Brain. Axial plane.
FLAIR magnetic resonance.
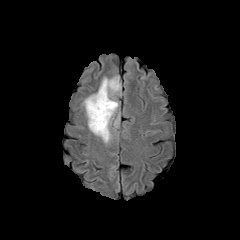
T1-weighted MRI.
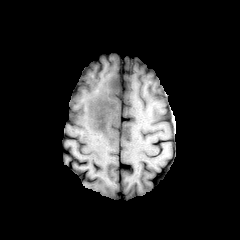
Post-contrast T1-weighted magnetic resonance.
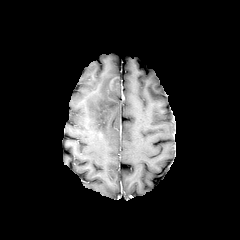
T2-weighted magnetic resonance.
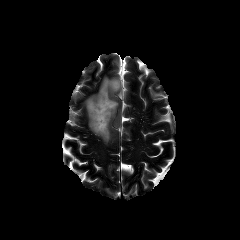
Segmented structures:
• peritumoral edema: [x1=83, y1=76, x2=121, y2=143]
• enhancing tumor: [x1=110, y1=77, x2=120, y2=92]